Head; Image width 240 mm, 1.00 mm slice spacing
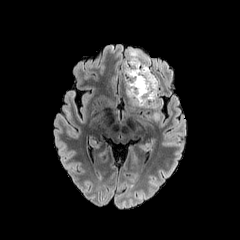
FLAIR magnetic resonance.
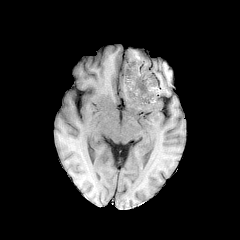
Same slice, T1-weighted MRI.
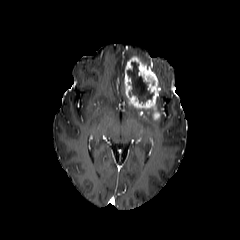
Post-contrast T1-weighted MR image.
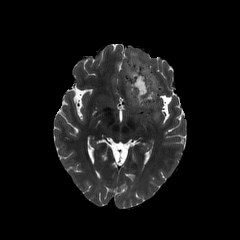
Same slice, T2-weighted MR image.
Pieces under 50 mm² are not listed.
peritumoral edema: 128:49:148:66 | enhancing tumor: 124:56:160:119 | necrotic tumor core: 127:62:153:103